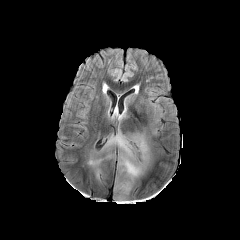
FLAIR magnetic resonance.
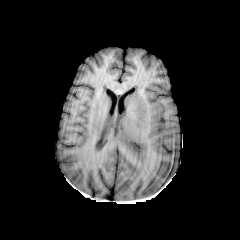
Same slice, T1-weighted magnetic resonance.
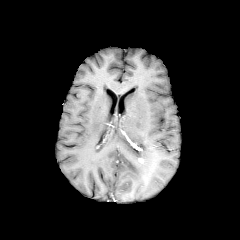
Post-contrast T1-weighted MRI.
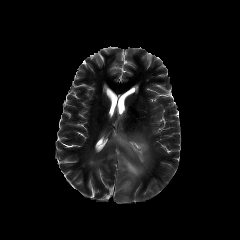
Same slice, T2-weighted MR.
Image size 240x240.
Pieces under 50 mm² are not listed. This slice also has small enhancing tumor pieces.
peritumoral edema = box=[121, 181, 130, 190]; box=[105, 130, 148, 180]